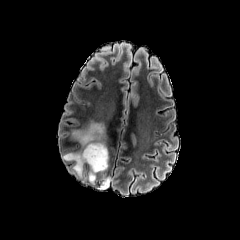
FLAIR MR.
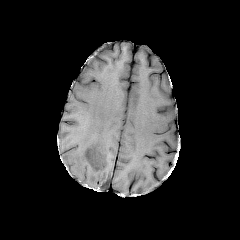
T1-weighted MRI.
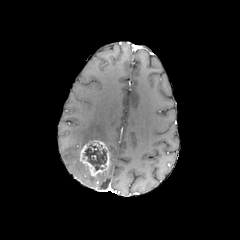
Post-contrast T1-weighted magnetic resonance.
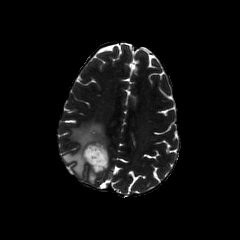
T2-weighted MR image of the same slice.
Axial plane, 240x240
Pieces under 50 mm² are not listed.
necrotic tumor core: 83 144 106 170 | peritumoral edema: 72 122 107 148, 63 149 84 177 | enhancing tumor: 79 140 109 177